Image width 240 mm, Axial plane
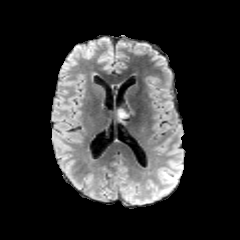
FLAIR MR.
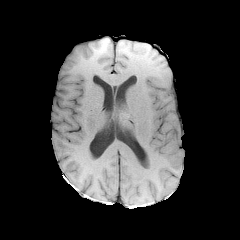
T1-weighted MRI.
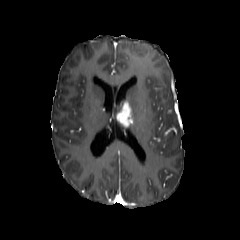
Post-contrast T1-weighted MR.
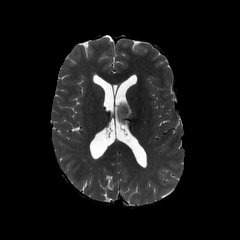
T2-weighted MRI.
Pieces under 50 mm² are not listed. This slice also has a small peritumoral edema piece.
The enhancing tumor is at bbox=[116, 101, 133, 127].